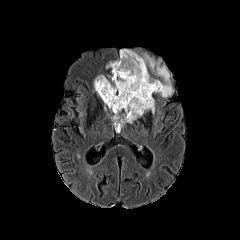
FLAIR magnetic resonance.
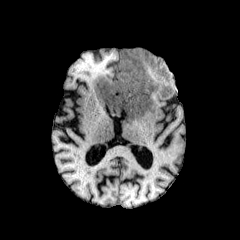
Same slice, T1-weighted magnetic resonance.
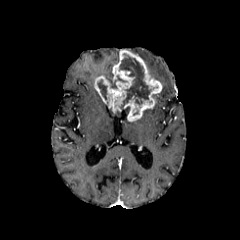
Post-contrast T1-weighted MR image of the same slice.
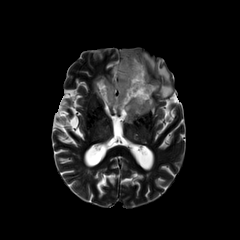
T2-weighted magnetic resonance of the same slice.
Brain | Axial slice | 240x240 px
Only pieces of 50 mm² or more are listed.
{
  "peritumoral_edema": [
    "122,107,132,123",
    "107,73,116,88",
    "140,54,173,97"
  ],
  "necrotic_tumor_core": [
    "120,56,150,108",
    "98,80,106,99"
  ],
  "enhancing_tumor": [
    "94,49,162,121"
  ]
}